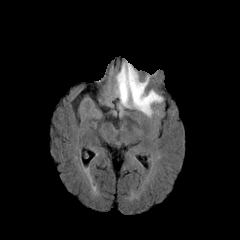
FLAIR MR image.
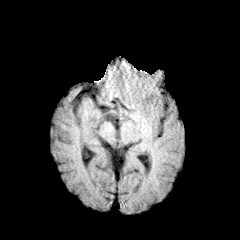
T1-weighted MR.
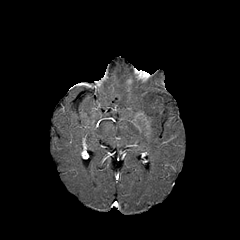
Same slice, post-contrast T1-weighted MR image.
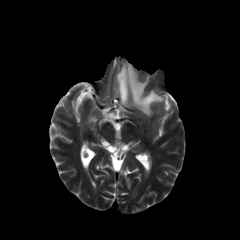
T2-weighted MR.
Head.
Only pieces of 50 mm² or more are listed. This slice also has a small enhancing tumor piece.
{
  "peritumoral_edema": [
    "box(115, 62, 162, 116)"
  ]
}